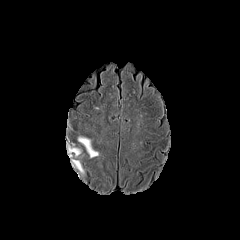
FLAIR MRI.
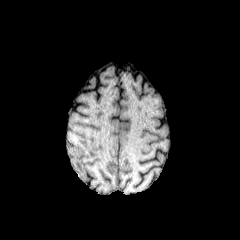
T1-weighted MR image.
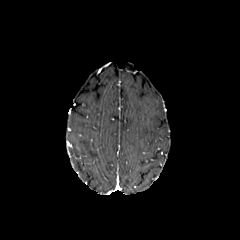
Post-contrast T1-weighted MRI.
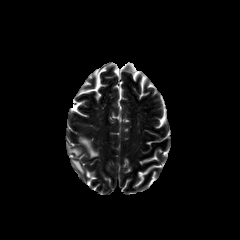
Same slice, T2-weighted magnetic resonance.
Image size 240x240
Annotated regions:
- peritumoral edema: rect(72, 160, 83, 173); rect(69, 148, 80, 155); rect(78, 137, 98, 157)